FLAIR MRI.
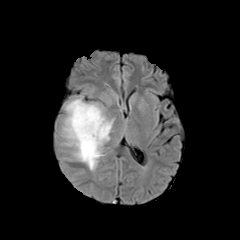
T1-weighted MR image.
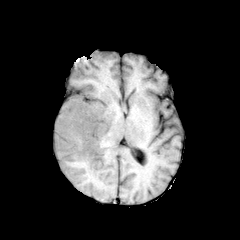
Post-contrast T1-weighted MR.
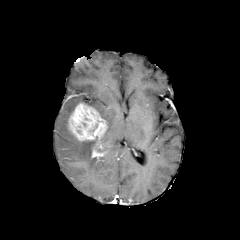
T2-weighted magnetic resonance.
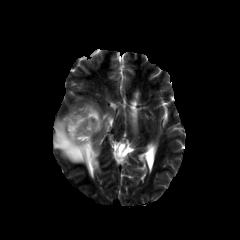
240x240; Brain; Axial view
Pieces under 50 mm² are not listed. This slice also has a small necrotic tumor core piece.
{
  "peritumoral_edema": [
    "[56,96,114,171]"
  ],
  "enhancing_tumor": [
    "[92,147,101,157]",
    "[68,103,107,147]"
  ]
}